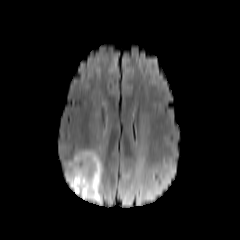
FLAIR MR image.
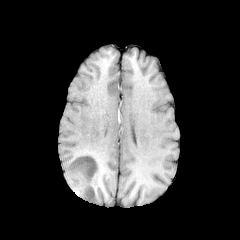
Same slice, T1-weighted MR.
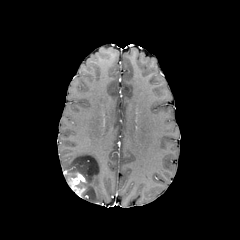
Post-contrast T1-weighted MR.
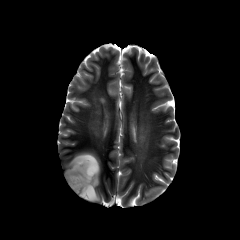
T2-weighted MR.
Brain, Axial slice
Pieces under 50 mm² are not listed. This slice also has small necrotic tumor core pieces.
Findings:
* enhancing tumor: (x1=64, y1=170, x2=87, y2=198)
* peritumoral edema: (x1=66, y1=151, x2=102, y2=202)